FLAIR magnetic resonance.
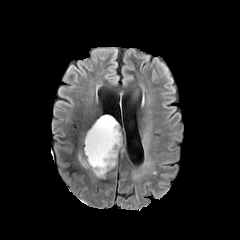
T1-weighted magnetic resonance.
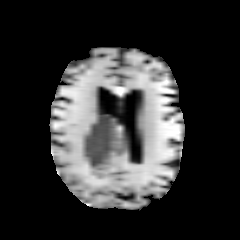
Post-contrast T1-weighted MRI.
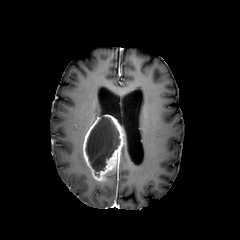
T2-weighted MRI.
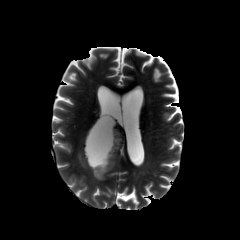
Axial plane. Brain.
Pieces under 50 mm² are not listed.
The largest peritumoral edema region is bounded by box=[79, 154, 87, 167]. The enhancing tumor lies within box=[83, 114, 125, 180]. The largest necrotic tumor core region is at box=[86, 117, 119, 171].